FLAIR MR image.
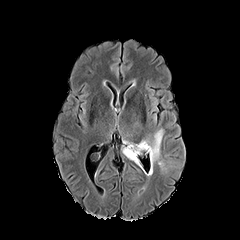
T1-weighted MR image.
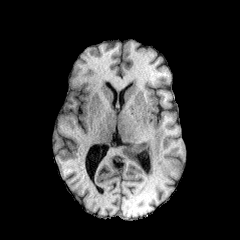
Post-contrast T1-weighted MR.
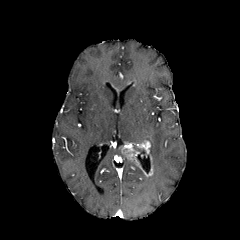
T2-weighted MR image.
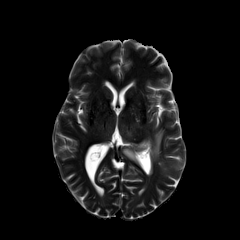
Head, Axial plane, 240x240
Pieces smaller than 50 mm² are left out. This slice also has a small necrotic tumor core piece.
Segmented structures:
* peritumoral edema: (149, 129, 163, 161)
* enhancing tumor: (122, 141, 150, 164)